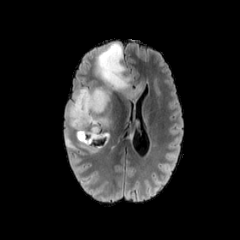
FLAIR MR.
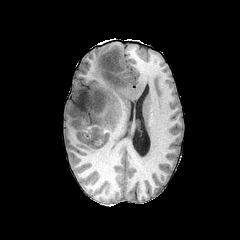
T1-weighted MRI.
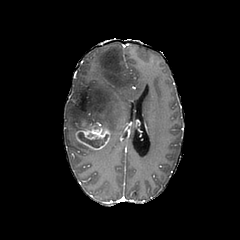
Post-contrast T1-weighted MR.
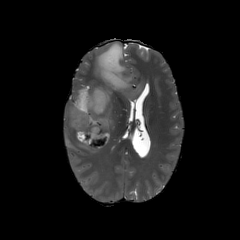
T2-weighted magnetic resonance of the same slice.
Axial view. 240x240.
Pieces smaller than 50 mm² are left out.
Findings:
• necrotic tumor core: 78 132 107 147
• peritumoral edema: 64 42 146 153, 134 119 140 132
• enhancing tumor: 75 128 110 150